Brain | 240x240 px | Axial plane
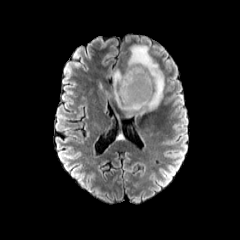
FLAIR MR image.
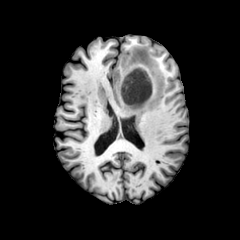
T1-weighted MR.
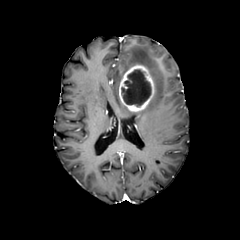
Same slice, post-contrast T1-weighted MR image.
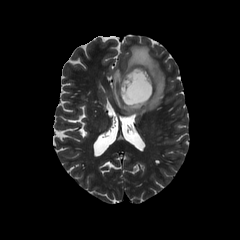
T2-weighted MR.
peritumoral edema: 113, 45, 164, 115
enhancing tumor: 119, 64, 154, 111
necrotic tumor core: 121, 70, 151, 106